FLAIR magnetic resonance.
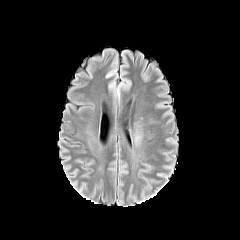
T1-weighted magnetic resonance.
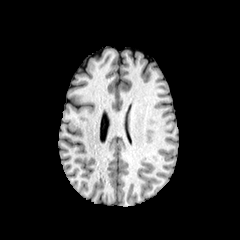
Post-contrast T1-weighted magnetic resonance.
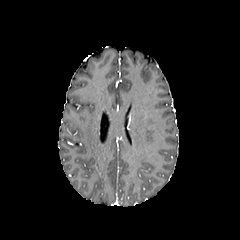
T2-weighted MR image.
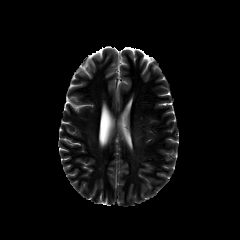
The peritumoral edema lies within <bbox>134, 129, 142, 145</bbox>.